Image size 240x240, Slice 101/155
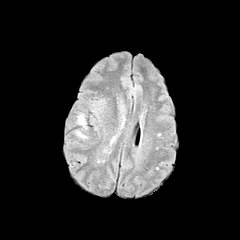
FLAIR MRI.
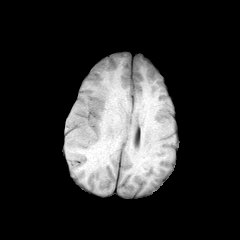
T1-weighted magnetic resonance of the same slice.
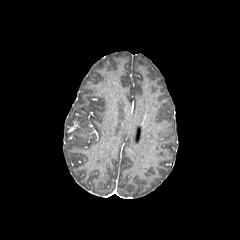
Post-contrast T1-weighted MR image.
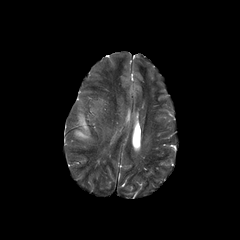
Same slice, T2-weighted MRI.
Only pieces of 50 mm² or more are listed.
peritumoral edema: bounding box box(78, 116, 86, 129)